240x240 px; Axial view
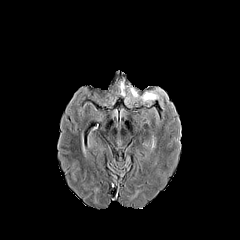
FLAIR MRI.
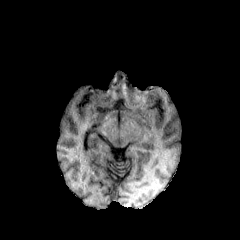
T1-weighted MR image.
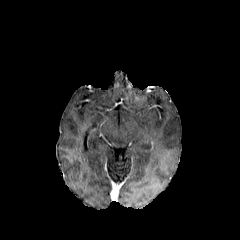
Same slice, post-contrast T1-weighted MRI.
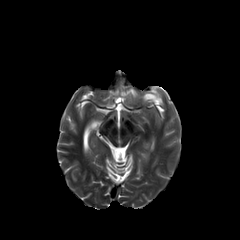
T2-weighted MR of the same slice.
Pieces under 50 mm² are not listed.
The largest peritumoral edema region is bounded by 142,93,157,100.